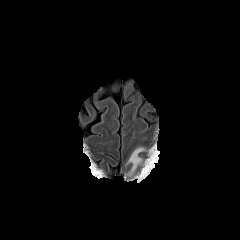
FLAIR MR image.
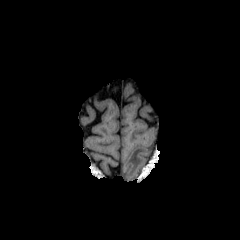
T1-weighted MRI.
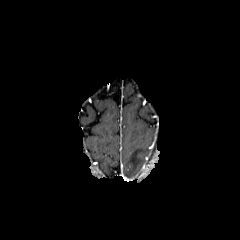
Post-contrast T1-weighted magnetic resonance of the same slice.
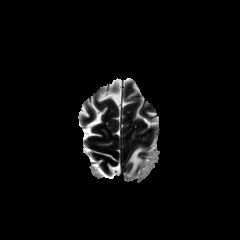
T2-weighted MRI of the same slice.
Axial view
{"peritumoral_edema": ["l=124, t=147, r=145, b=177"]}